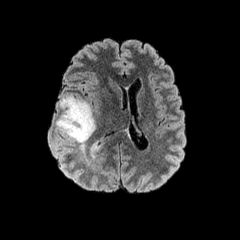
FLAIR MRI.
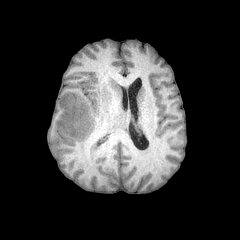
T1-weighted magnetic resonance of the same slice.
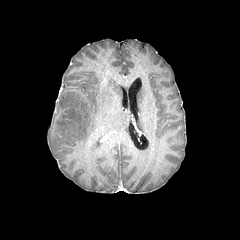
Same slice, post-contrast T1-weighted magnetic resonance.
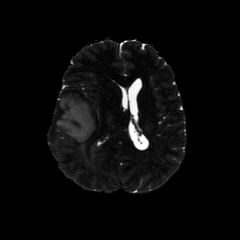
T2-weighted magnetic resonance of the same slice.
Axial plane; Image size 240x240
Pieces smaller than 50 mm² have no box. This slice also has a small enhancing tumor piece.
The peritumoral edema lies within (58, 96, 95, 149).